FLAIR MRI.
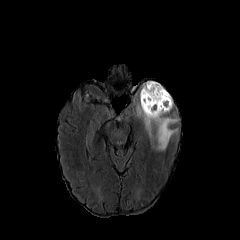
T1-weighted MR image.
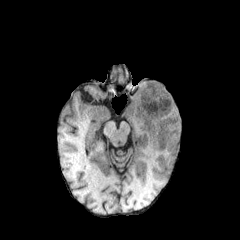
Post-contrast T1-weighted MRI.
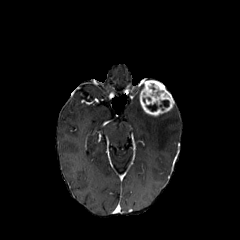
T2-weighted magnetic resonance.
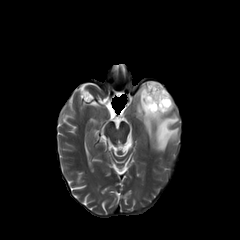
Head | Axial slice
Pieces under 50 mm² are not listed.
necrotic tumor core = rect(146, 103, 157, 111); rect(159, 100, 169, 107)
enhancing tumor = rect(139, 80, 174, 116)
peritumoral edema = rect(136, 99, 179, 151)